Image size 240x240
FLAIR MR image.
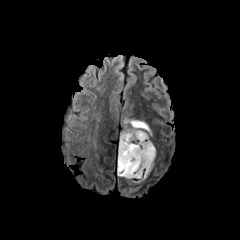
T1-weighted MR.
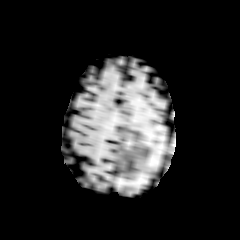
Post-contrast T1-weighted magnetic resonance.
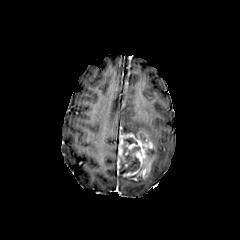
T2-weighted MRI.
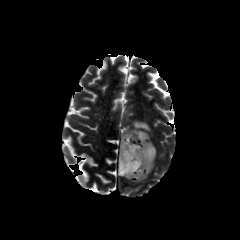
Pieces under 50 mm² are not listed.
{"enhancing_tumor": ["(x1=117, y1=131, x2=156, y2=180)"], "peritumoral_edema": ["(x1=133, y1=170, x2=150, y2=182)", "(x1=124, y1=119, x2=151, y2=135)"], "necrotic_tumor_core": ["(x1=119, y1=147, x2=146, y2=174)", "(x1=147, y1=148, x2=153, y2=159)", "(x1=124, y1=138, x2=137, y2=144)"]}